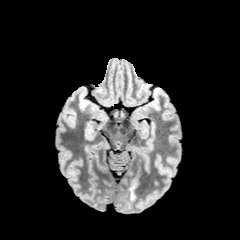
FLAIR MR.
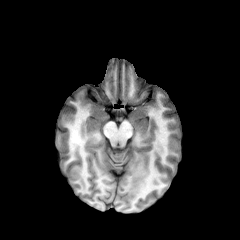
T1-weighted MR of the same slice.
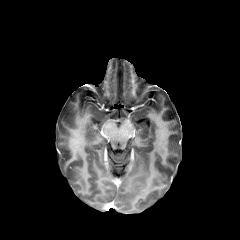
Same slice, post-contrast T1-weighted magnetic resonance.
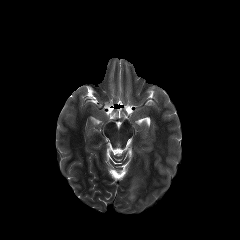
Same slice, T2-weighted MRI.
Brain.
Annotated regions:
• peritumoral edema: (left=130, top=180, right=136, bottom=199)